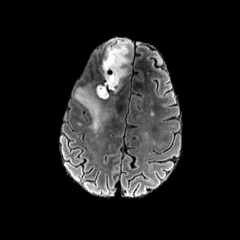
FLAIR MR.
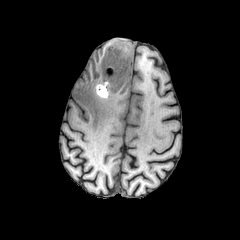
T1-weighted MR.
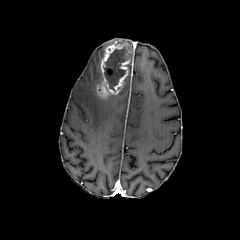
Post-contrast T1-weighted MRI of the same slice.
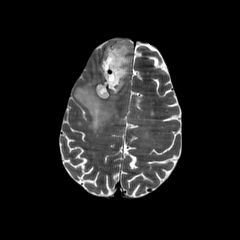
T2-weighted MRI.
Image size 240x240, Head
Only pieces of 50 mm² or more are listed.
The enhancing tumor lies within (96,40,131,98). The 2 largest peritumoral edema regions are bounded by (75,87,118,132), (110,39,132,48). The largest necrotic tumor core region appears at (104,46,127,90).